FLAIR MR image.
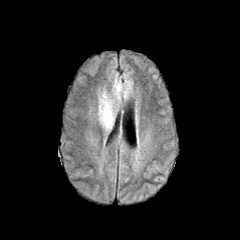
T1-weighted MR.
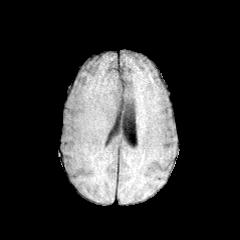
Post-contrast T1-weighted MR.
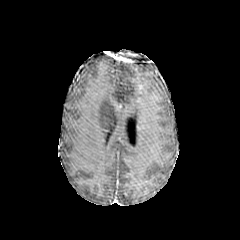
T2-weighted MR.
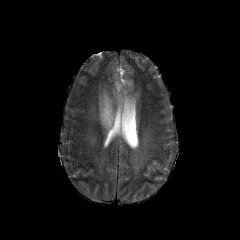
Axial view | 240x240 px
peritumoral edema = l=97, t=73, r=132, b=130